FLAIR MR.
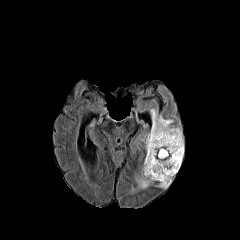
T1-weighted MR image.
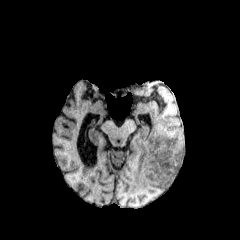
Post-contrast T1-weighted MRI.
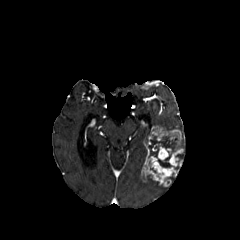
T2-weighted magnetic resonance.
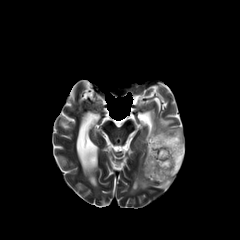
Image size 240x240; Axial view
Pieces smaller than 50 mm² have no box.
necrotic tumor core at [x1=158, y1=151, x2=171, y2=167], [x1=148, y1=136, x2=178, y2=157]
enhancing tumor at [x1=141, y1=125, x2=183, y2=186]
peritumoral edema at [x1=151, y1=109, x2=181, y2=131], [x1=137, y1=175, x2=152, y2=188]